Slice 111/155 | Image width 240 mm, 1.00 mm slice spacing | Axial plane | Image size 240x240 | Brain
FLAIR MRI.
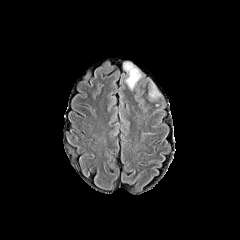
T1-weighted magnetic resonance.
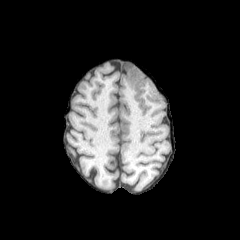
Post-contrast T1-weighted MR.
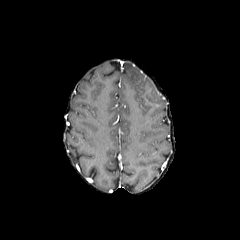
T2-weighted MR image.
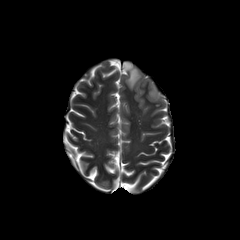
- peritumoral edema: left=149, top=87, right=157, bottom=97; left=124, top=62, right=141, bottom=89